Slice 86 of 155, Image covers 240 mm x 240 mm, Axial plane, Brain
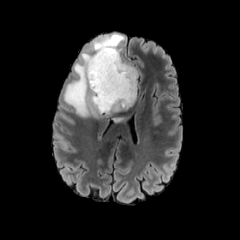
FLAIR MR image.
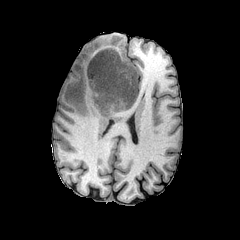
Same slice, T1-weighted MR.
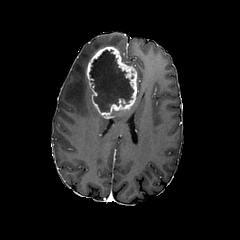
Same slice, post-contrast T1-weighted MR image.
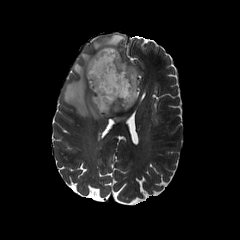
T2-weighted MR image.
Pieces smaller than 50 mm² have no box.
necrotic_tumor_core:
  - {"x1": 90, "y1": 49, "x2": 133, "y2": 112}
peritumoral_edema:
  - {"x1": 64, "y1": 52, "x2": 107, "y2": 118}
  - {"x1": 93, "y1": 34, "x2": 124, "y2": 51}
  - {"x1": 109, "y1": 116, "x2": 126, "y2": 123}
enhancing_tumor:
  - {"x1": 86, "y1": 46, "x2": 137, "y2": 117}